Slice index 102, Image width 240 mm, 240x240
FLAIR MR image.
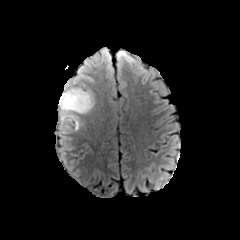
T1-weighted MR.
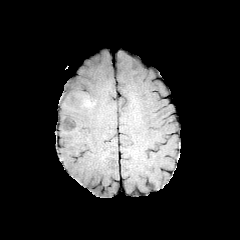
Post-contrast T1-weighted MR image.
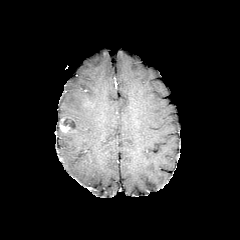
T2-weighted MR.
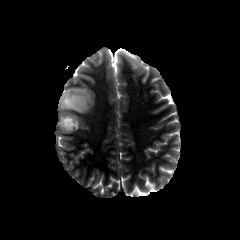
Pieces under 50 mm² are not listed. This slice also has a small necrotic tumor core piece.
<segmentation>
  <enhancing_tumor>l=59, t=117, r=76, b=132</enhancing_tumor>
  <peritumoral_edema>l=57, t=83, r=95, b=135</peritumoral_edema>
</segmentation>